FLAIR MR.
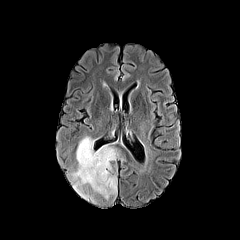
T1-weighted MR.
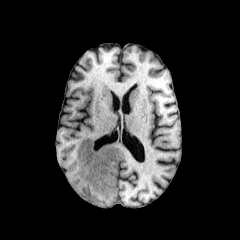
Post-contrast T1-weighted MR image.
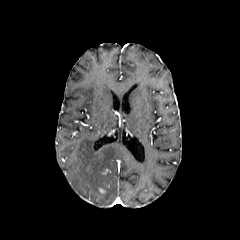
T2-weighted MR.
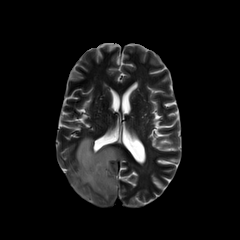
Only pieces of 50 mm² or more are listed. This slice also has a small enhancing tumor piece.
peritumoral edema: box(70, 136, 119, 202)